Slice 73/155, Head
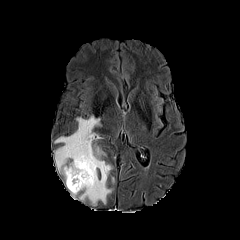
FLAIR MR image.
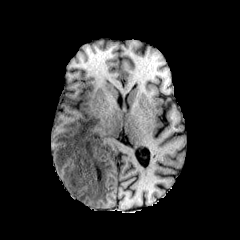
Same slice, T1-weighted MR image.
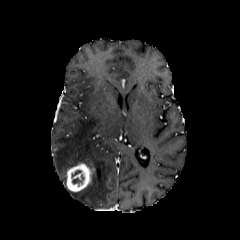
Post-contrast T1-weighted MRI.
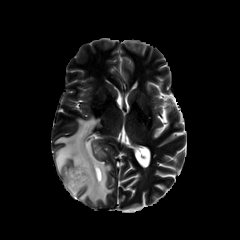
Same slice, T2-weighted magnetic resonance.
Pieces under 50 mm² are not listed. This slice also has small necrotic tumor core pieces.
Segmented structures:
* enhancing tumor: box=[66, 162, 95, 191]
* peritumoral edema: box=[54, 115, 112, 205]